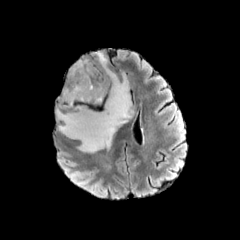
FLAIR MR.
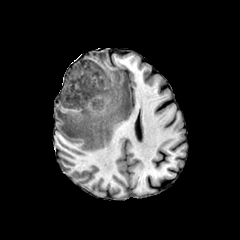
Same slice, T1-weighted MR.
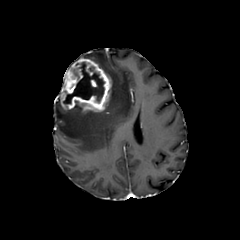
Post-contrast T1-weighted MRI.
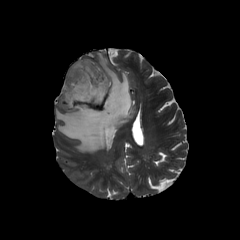
T2-weighted MR image of the same slice.
Brain
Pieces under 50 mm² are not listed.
The largest enhancing tumor region lies within l=60, t=58, r=111, b=112. The peritumoral edema is located at l=56, t=52, r=133, b=152. The largest necrotic tumor core region appears at l=63, t=62, r=104, b=104.